FLAIR MR.
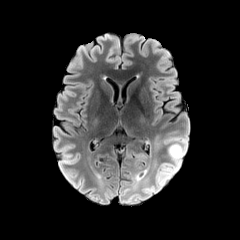
T1-weighted MR.
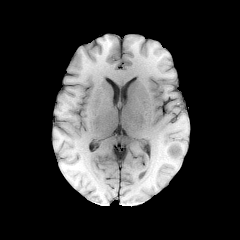
Post-contrast T1-weighted MRI.
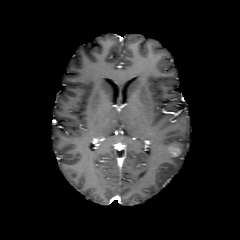
T2-weighted MR.
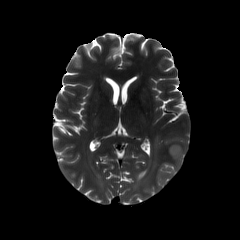
Head.
Annotated regions:
• enhancing tumor: box=[167, 143, 182, 157]
• peritumoral edema: box=[157, 136, 187, 186]